FLAIR MRI.
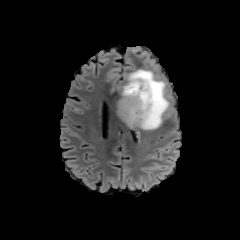
T1-weighted MR.
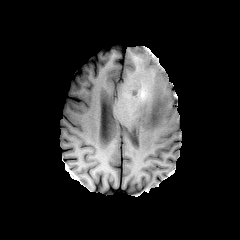
Post-contrast T1-weighted MR.
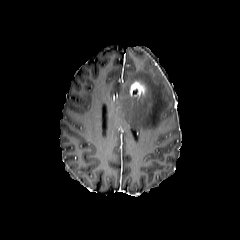
T2-weighted MR.
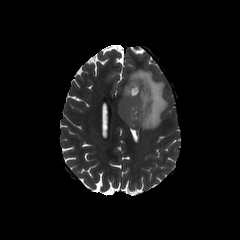
Axial plane.
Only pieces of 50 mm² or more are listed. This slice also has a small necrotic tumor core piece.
enhancing_tumor:
  - {"x1": 129, "y1": 80, "x2": 145, "y2": 96}
peritumoral_edema:
  - {"x1": 117, "y1": 69, "x2": 168, "y2": 129}